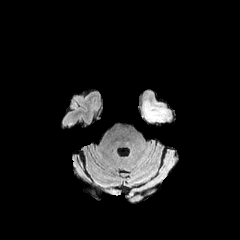
FLAIR MRI.
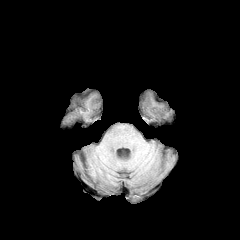
T1-weighted magnetic resonance.
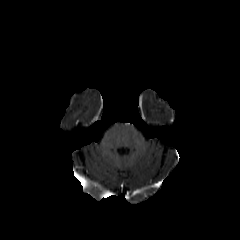
Post-contrast T1-weighted MR.
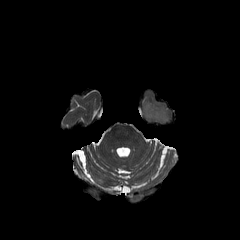
T2-weighted MR.
Head, 240x240 px
peritumoral edema: bounding box (x1=143, y1=101, x2=166, y2=121)